Slice 58 of 155. Axial view.
FLAIR magnetic resonance.
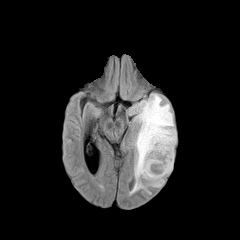
T1-weighted MR image.
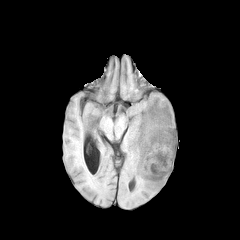
Post-contrast T1-weighted MRI.
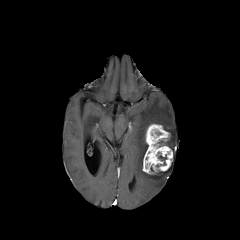
T2-weighted MR.
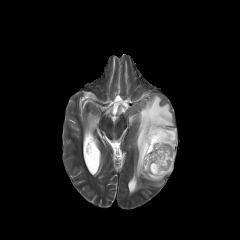
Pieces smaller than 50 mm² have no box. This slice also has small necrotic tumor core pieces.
• peritumoral edema: 131,94,176,192
• enhancing tumor: 142,124,173,174